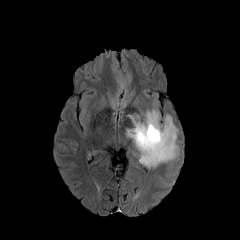
FLAIR MRI.
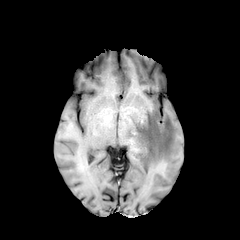
Same slice, T1-weighted MR image.
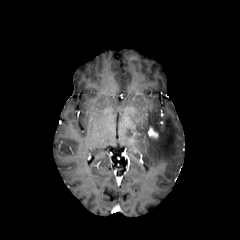
Post-contrast T1-weighted MRI.
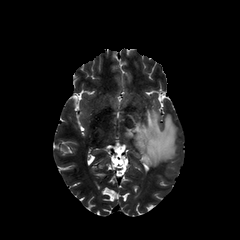
T2-weighted MR image.
Brain; Axial plane; 240x240 px
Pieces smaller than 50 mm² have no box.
Annotated regions:
* enhancing tumor: <box>148,127,158,138</box>
* peritumoral edema: <box>126,109,178,167</box>